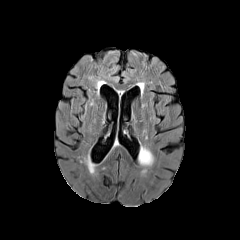
FLAIR MR image.
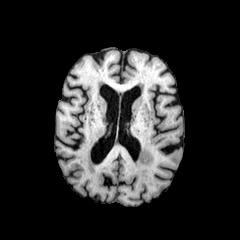
T1-weighted magnetic resonance.
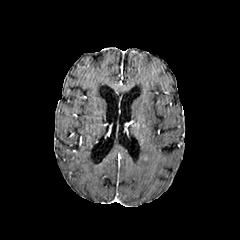
Post-contrast T1-weighted MR.
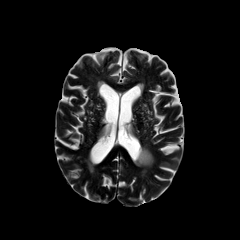
Same slice, T2-weighted MR image.
240x240 px. Axial view.
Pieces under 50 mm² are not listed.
peritumoral edema — [138, 146, 154, 166]